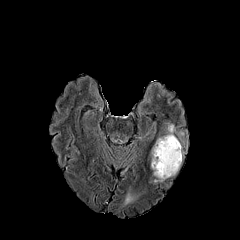
FLAIR magnetic resonance.
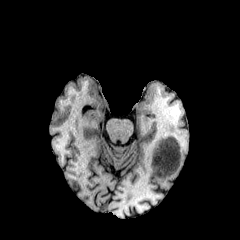
T1-weighted magnetic resonance.
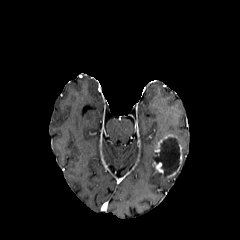
Post-contrast T1-weighted MR.
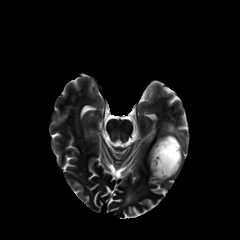
T2-weighted MR.
Axial slice.
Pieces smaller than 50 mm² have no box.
necrotic_tumor_core:
  - 154 137 180 177
enhancing_tumor:
  - 154 134 175 152
  - 167 143 181 177
  - 152 161 163 177
peritumoral_edema:
  - 151 137 165 182
  - 167 124 175 134
  - 122 191 133 205